Slice 122 of 155, Axial plane, Brain
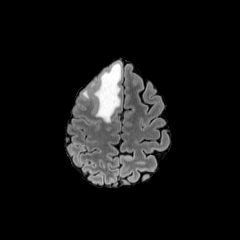
FLAIR magnetic resonance.
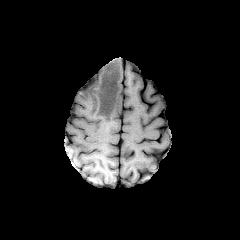
T1-weighted magnetic resonance of the same slice.
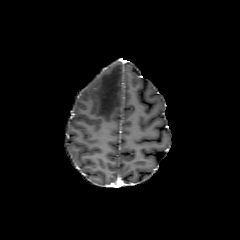
Post-contrast T1-weighted MR of the same slice.
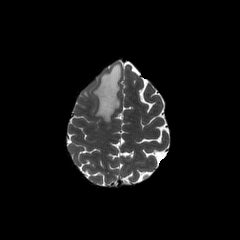
T2-weighted magnetic resonance.
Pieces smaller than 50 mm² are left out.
peritumoral edema at rect(92, 62, 121, 122); rect(82, 89, 89, 99)